FLAIR magnetic resonance.
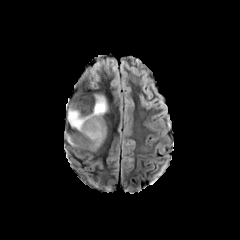
T1-weighted MR.
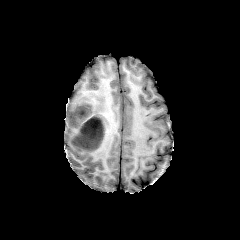
Post-contrast T1-weighted magnetic resonance.
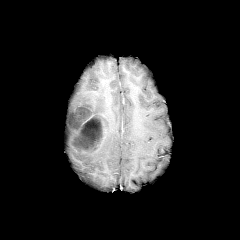
T2-weighted MR image.
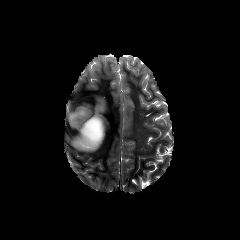
Axial slice
necrotic_tumor_core:
  - (x1=77, y1=117, x2=102, y2=146)
peritumoral_edema:
  - (x1=65, y1=134, x2=73, y2=144)
  - (x1=67, y1=95, x2=107, y2=130)
enhancing_tumor:
  - (x1=71, y1=115, x2=106, y2=151)